Slice 53 of 155, Axial plane
FLAIR magnetic resonance.
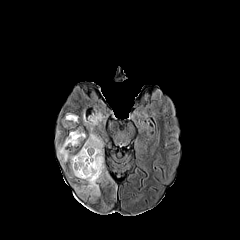
T1-weighted magnetic resonance.
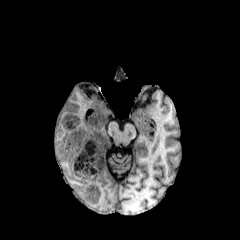
Post-contrast T1-weighted MR.
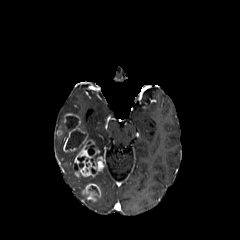
T2-weighted MR image.
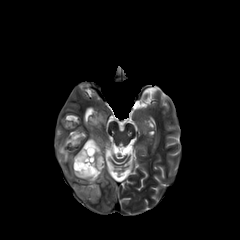
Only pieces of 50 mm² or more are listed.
The 4 largest enhancing tumor regions are located at l=62, t=113, r=78, b=123; l=81, t=183, r=100, b=201; l=63, t=126, r=84, b=152; l=74, t=136, r=104, b=177. The 3 largest necrotic tumor core regions are located at l=66, t=130, r=84, b=152; l=88, t=145, r=95, b=155; l=63, t=116, r=78, b=130. The 4 largest peritumoral edema regions are bounded by l=83, t=112, r=104, b=155; l=79, t=169, r=103, b=184; l=57, t=143, r=75, b=175; l=75, t=185, r=85, b=194.